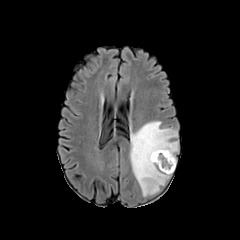
FLAIR MR.
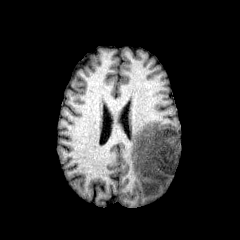
T1-weighted MR of the same slice.
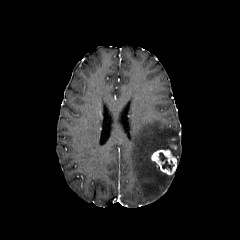
Post-contrast T1-weighted MRI of the same slice.
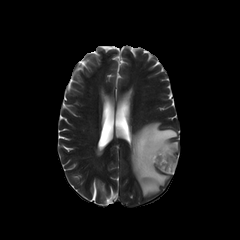
T2-weighted MRI of the same slice.
Brain
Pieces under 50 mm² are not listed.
Findings:
- peritumoral edema: {"x1": 130, "y1": 121, "x2": 178, "y2": 196}
- enhancing tumor: {"x1": 151, "y1": 149, "x2": 176, "y2": 174}
- necrotic tumor core: {"x1": 159, "y1": 153, "x2": 173, "y2": 170}